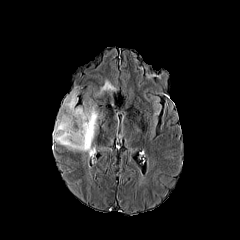
FLAIR MR image.
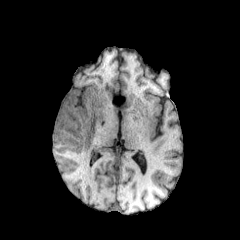
T1-weighted MR.
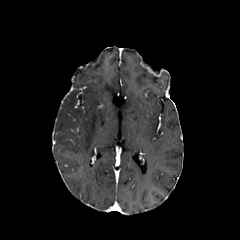
Post-contrast T1-weighted magnetic resonance of the same slice.
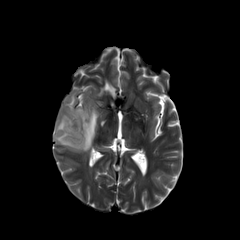
Same slice, T2-weighted magnetic resonance.
Image size 240x240. Axial slice. Brain.
peritumoral edema at [53,86,103,156], [97,79,117,95]